240x240 px; Head; Image width 240 mm; Slice index 88
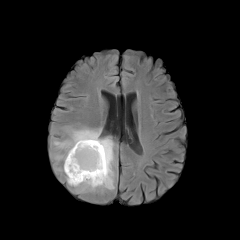
FLAIR MR image.
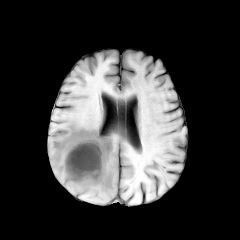
T1-weighted magnetic resonance.
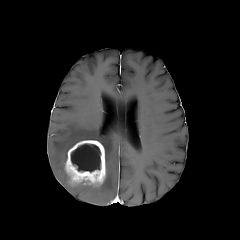
Post-contrast T1-weighted MRI.
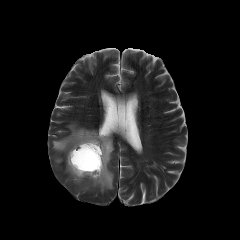
T2-weighted magnetic resonance of the same slice.
The necrotic tumor core appears at region(71, 144, 100, 172). The peritumoral edema appears at region(53, 126, 114, 192). The enhancing tumor appears at region(65, 140, 105, 186).